Slice index 40; Image size 240x240; Head
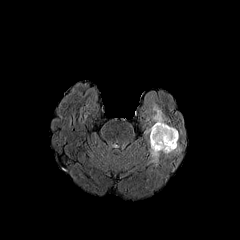
FLAIR MR.
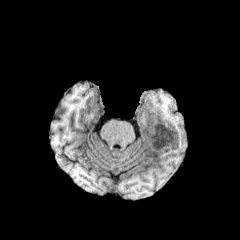
T1-weighted magnetic resonance.
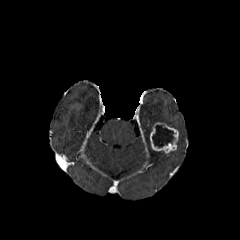
Post-contrast T1-weighted MR image.
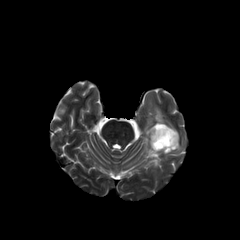
Same slice, T2-weighted MR image.
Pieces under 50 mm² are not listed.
necrotic tumor core: bounding box left=152, top=125, right=175, bottom=147
enhancing tumor: bounding box left=150, top=122, right=178, bottom=153
peritumoral edema: bounding box left=149, top=148, right=161, bottom=165; left=170, top=143, right=181, bottom=153; left=145, top=102, right=171, bottom=134